Axial slice. Brain.
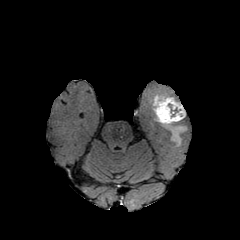
FLAIR MRI.
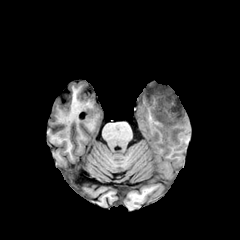
T1-weighted magnetic resonance of the same slice.
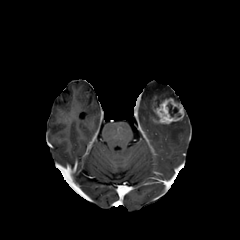
Post-contrast T1-weighted MR.
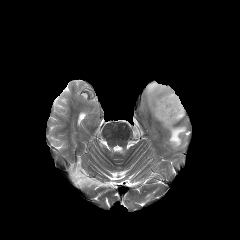
T2-weighted MRI of the same slice.
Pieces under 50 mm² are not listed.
{"enhancing_tumor": ["(x1=153, y1=98, x2=184, y2=124)"], "necrotic_tumor_core": ["(x1=154, y1=98, x2=164, y2=108)", "(x1=167, y1=103, x2=181, y2=117)"], "peritumoral_edema": ["(x1=162, y1=123, x2=186, y2=146)", "(x1=148, y1=86, x2=180, y2=109)"]}